Brain
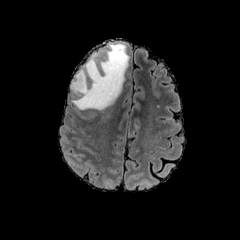
FLAIR magnetic resonance.
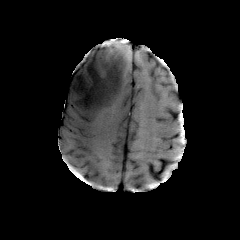
T1-weighted MR of the same slice.
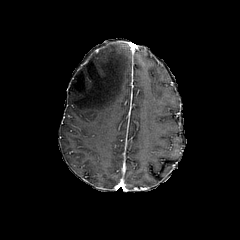
Post-contrast T1-weighted magnetic resonance of the same slice.
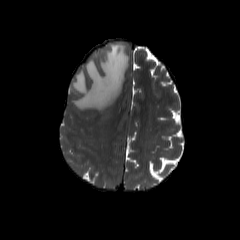
T2-weighted magnetic resonance.
peritumoral edema = bbox=[70, 42, 129, 110]